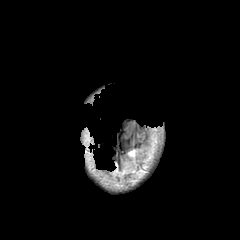
FLAIR MR image.
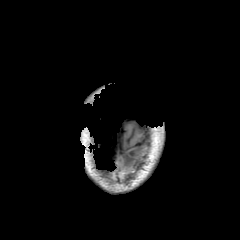
Same slice, T1-weighted MR image.
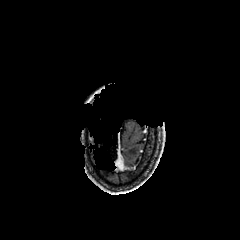
Same slice, post-contrast T1-weighted MR.
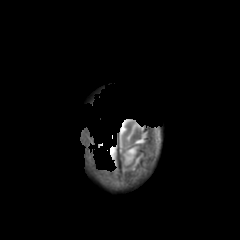
T2-weighted magnetic resonance.
Brain.
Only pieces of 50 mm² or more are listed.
{"peritumoral_edema": ["<box>122,148,143,173</box>"]}